FLAIR MRI.
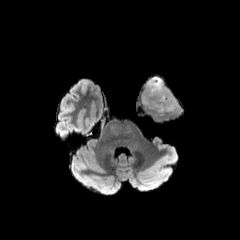
T1-weighted MRI.
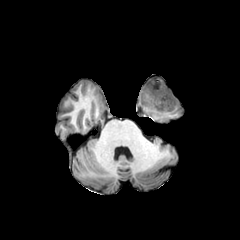
Post-contrast T1-weighted MR.
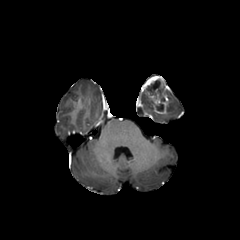
T2-weighted MR.
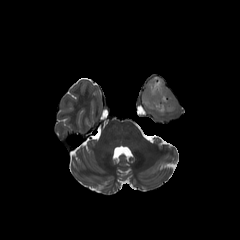
Axial plane
peritumoral_edema:
  - <box>167,95,177,112</box>
  - <box>141,91,152,110</box>
enhancing_tumor:
  - <box>143,75,172,114</box>
necrotic_tumor_core:
  - <box>156,103,163,111</box>
  - <box>146,80,165,101</box>